Brain
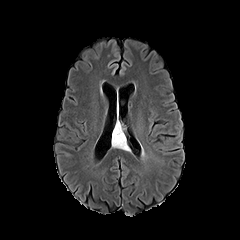
FLAIR MR.
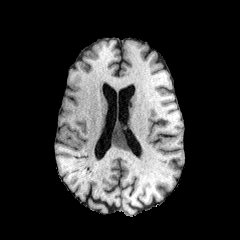
T1-weighted MRI of the same slice.
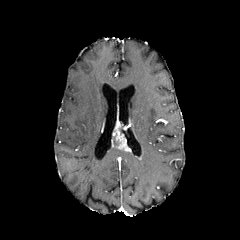
Post-contrast T1-weighted MR.
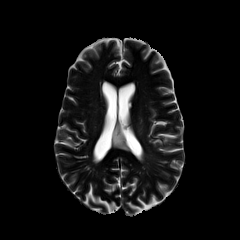
T2-weighted MR image of the same slice.
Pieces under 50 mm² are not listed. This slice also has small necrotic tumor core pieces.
enhancing tumor: bounding box (x1=112, y1=122, x2=130, y2=152)